FLAIR MR.
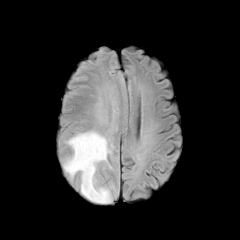
T1-weighted MRI.
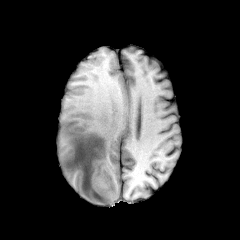
Post-contrast T1-weighted MR image.
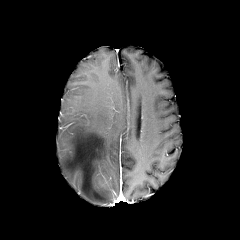
T2-weighted MR image.
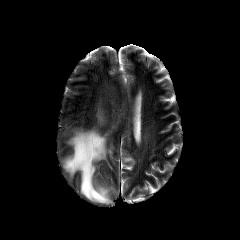
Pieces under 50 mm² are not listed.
<segmentation>
  <peritumoral_edema>63 129 113 203</peritumoral_edema>
</segmentation>